FLAIR MRI.
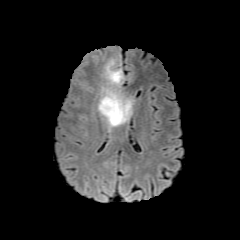
T1-weighted MR.
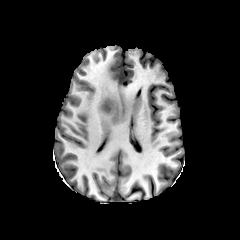
Post-contrast T1-weighted MRI.
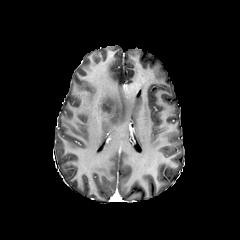
T2-weighted MRI.
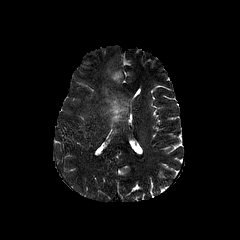
Axial view. Brain. 240x240.
The peritumoral edema is located at {"x1": 98, "y1": 60, "x2": 133, "y2": 128}.